240x240 px; Axial view
FLAIR MRI.
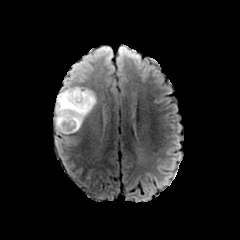
T1-weighted MR image.
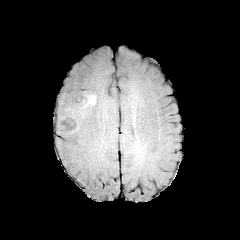
Post-contrast T1-weighted MR image.
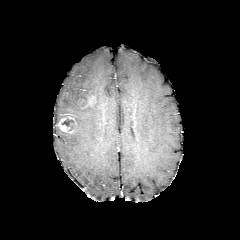
T2-weighted magnetic resonance.
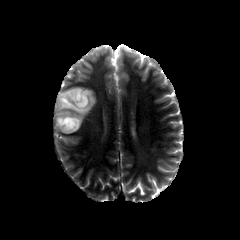
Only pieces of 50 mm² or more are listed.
The largest necrotic tumor core region is at <box>62,119,73,126</box>. The peritumoral edema is located at <box>54,86,97,136</box>. The enhancing tumor is located at <box>56,114,76,133</box>.